Axial view.
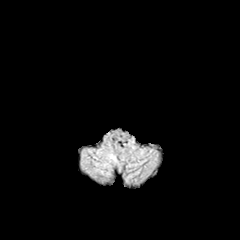
FLAIR magnetic resonance.
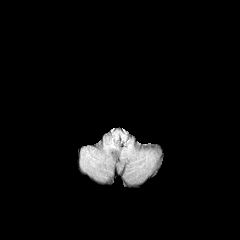
T1-weighted MR.
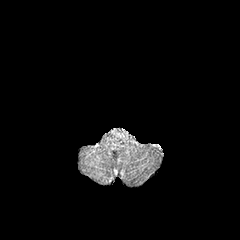
Post-contrast T1-weighted MR image of the same slice.
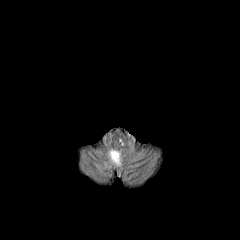
T2-weighted magnetic resonance of the same slice.
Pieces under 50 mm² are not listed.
The largest peritumoral edema region is located at box=[107, 151, 116, 162].